Head; Image width 240 mm, 1.00 mm slice spacing; Slice index 105
FLAIR MR.
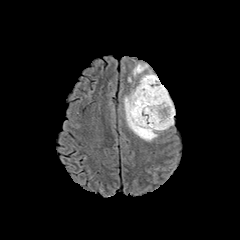
T1-weighted MRI.
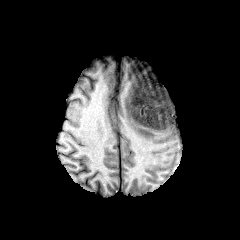
Post-contrast T1-weighted MR.
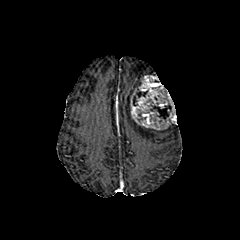
T2-weighted MR image.
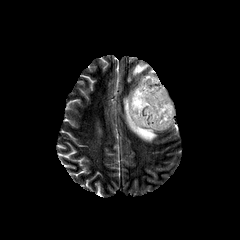
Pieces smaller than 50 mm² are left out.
necrotic tumor core: region(150, 104, 171, 119)
enhancing tumor: region(130, 75, 175, 130)
peritumoral edema: region(132, 63, 147, 76); region(124, 91, 157, 141)